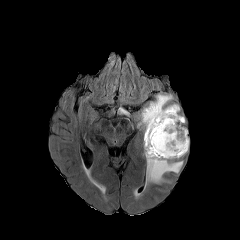
FLAIR MR image.
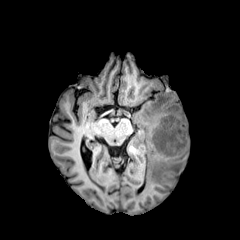
T1-weighted MR image.
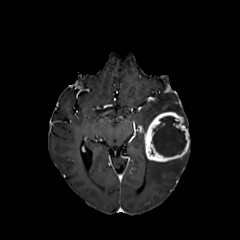
Post-contrast T1-weighted magnetic resonance.
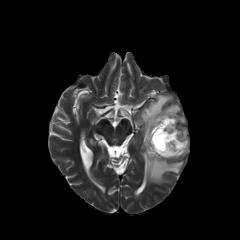
T2-weighted MR.
Axial plane | Brain
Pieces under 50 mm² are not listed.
Segmented structures:
- enhancing tumor: [x1=144, y1=111, x2=189, y2=162]
- necrotic tumor core: [x1=152, y1=116, x2=186, y2=156]
- peritumoral edema: [x1=146, y1=159, x2=183, y2=183], [x1=140, y1=94, x2=179, y2=132]